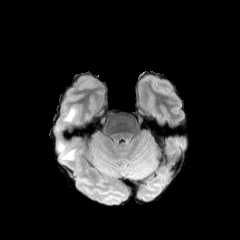
FLAIR magnetic resonance.
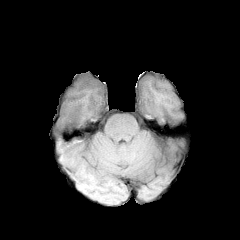
Same slice, T1-weighted MRI.
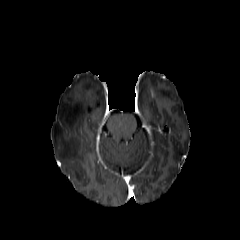
Same slice, post-contrast T1-weighted MRI.
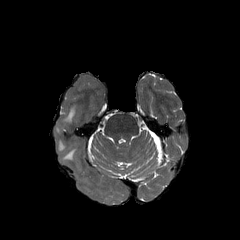
T2-weighted MR of the same slice.
Brain
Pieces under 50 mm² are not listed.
<segmentation>
  <peritumoral_edema>l=63, t=105, r=77, b=122; l=58, t=141, r=65, b=152; l=61, t=149, r=75, b=160</peritumoral_edema>
</segmentation>